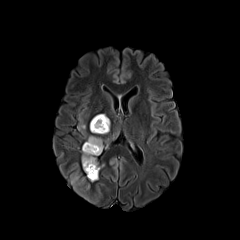
FLAIR MR image.
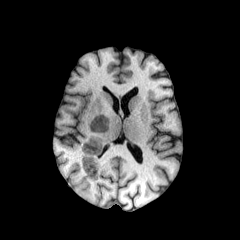
T1-weighted magnetic resonance.
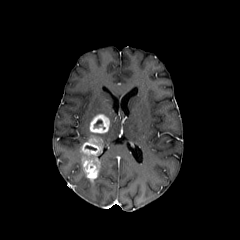
Post-contrast T1-weighted MRI.
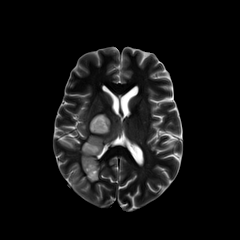
T2-weighted magnetic resonance.
Head, Axial plane
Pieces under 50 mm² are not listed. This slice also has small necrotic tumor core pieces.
enhancing tumor: [81,136,103,180], [90,114,110,134]
peritumoral edema: [77,119,85,134]